Image width 240 mm, 1.00 mm slice spacing
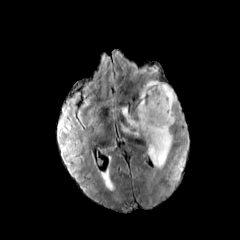
FLAIR MR.
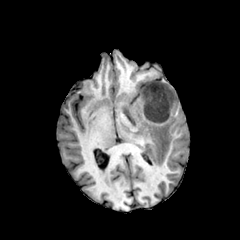
T1-weighted magnetic resonance.
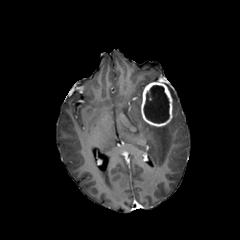
Post-contrast T1-weighted MRI of the same slice.
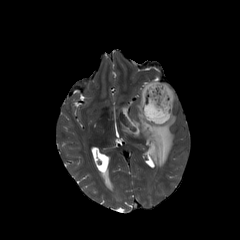
T2-weighted MRI.
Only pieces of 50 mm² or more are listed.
enhancing_tumor:
  - (left=141, top=81, right=172, bottom=126)
peritumoral_edema:
  - (left=169, top=87, right=176, bottom=105)
  - (left=122, top=90, right=175, bottom=167)
necrotic_tumor_core:
  - (left=144, top=85, right=169, bottom=123)